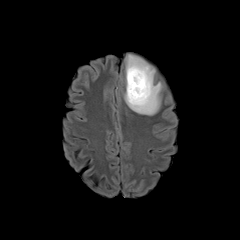
FLAIR magnetic resonance.
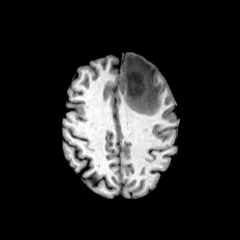
T1-weighted MRI.
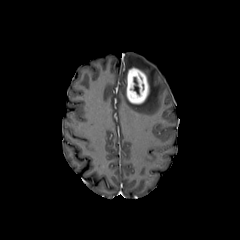
Post-contrast T1-weighted MR image.
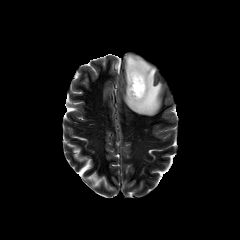
T2-weighted MR.
Axial slice
enhancing_tumor:
  - x1=126 y1=67 x2=149 y2=104
peritumoral_edema:
  - x1=124 y1=54 x2=161 y2=115
necrotic_tumor_core:
  - x1=134 y1=78 x2=139 y2=94